FLAIR MR image.
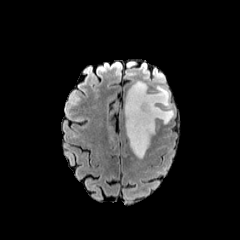
T1-weighted MRI.
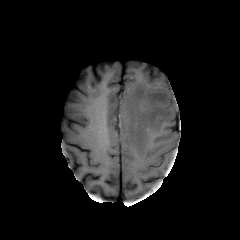
Post-contrast T1-weighted MR.
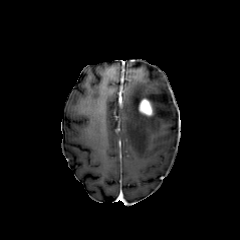
T2-weighted magnetic resonance.
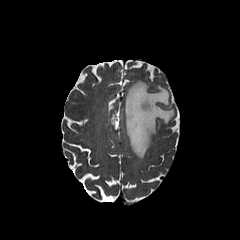
Head.
{
  "peritumoral_edema": [
    "x1=125 y1=81 x2=173 y2=158"
  ],
  "enhancing_tumor": [
    "x1=139 y1=98 x2=153 y2=116"
  ]
}